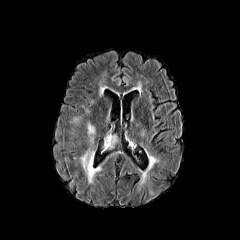
FLAIR MR.
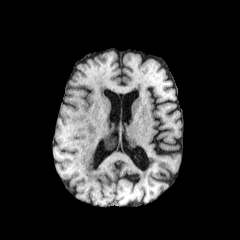
T1-weighted MRI.
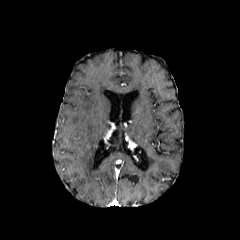
Post-contrast T1-weighted MR.
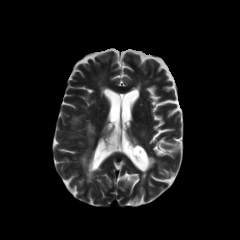
T2-weighted MR image of the same slice.
240x240
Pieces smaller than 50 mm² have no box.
Findings:
- peritumoral edema: l=83, t=149, r=94, b=181